FLAIR MR.
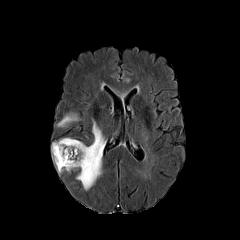
T1-weighted magnetic resonance.
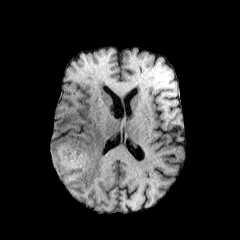
Post-contrast T1-weighted MR.
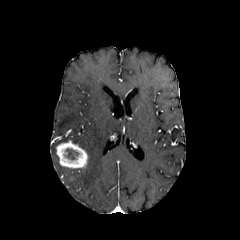
T2-weighted MRI.
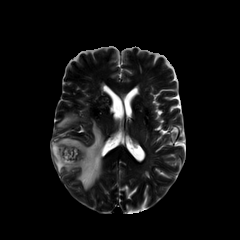
Axial plane | Brain | Image size 240x240
necrotic tumor core at (66,149,77,159)
enhancing tumor at (56,140,88,168)
peritumoral edema at (52,120,106,190), (57,113,78,127)